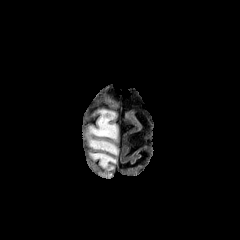
FLAIR MR image.
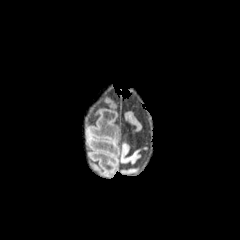
T1-weighted MR of the same slice.
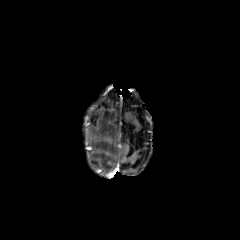
Post-contrast T1-weighted MR.
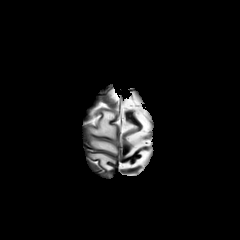
T2-weighted MR of the same slice.
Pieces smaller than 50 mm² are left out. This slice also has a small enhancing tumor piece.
3 peritumoral edema regions are bounded by [x1=90, y1=153, x2=116, y2=171], [x1=89, y1=110, x2=117, y2=140], [x1=89, y1=140, x2=118, y2=155].